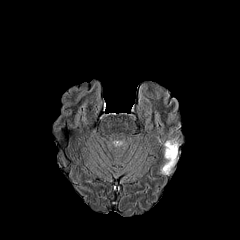
FLAIR MR.
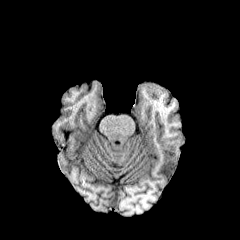
Same slice, T1-weighted MRI.
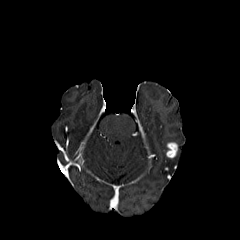
Same slice, post-contrast T1-weighted MR.
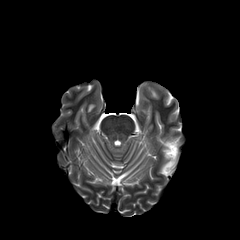
T2-weighted magnetic resonance.
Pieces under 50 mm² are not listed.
Annotated regions:
* enhancing tumor: [166,142,177,158]
* peritumoral edema: [160,135,180,174]